Axial view. Head.
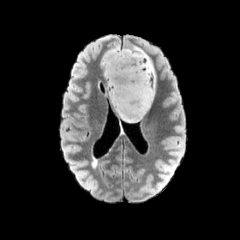
FLAIR MR image.
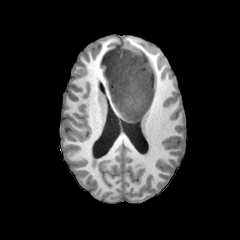
Same slice, T1-weighted MR.
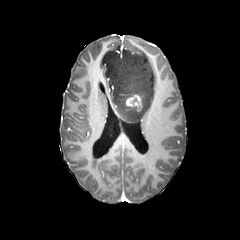
Post-contrast T1-weighted MR image of the same slice.
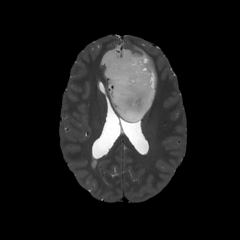
T2-weighted MR.
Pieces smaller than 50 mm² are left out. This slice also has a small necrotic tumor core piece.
<segmentation>
  <peritumoral_edema>(102,46,155,122)</peritumoral_edema>
  <enhancing_tumor>(126,95,142,111)</enhancing_tumor>
</segmentation>